Head. 240x240 px.
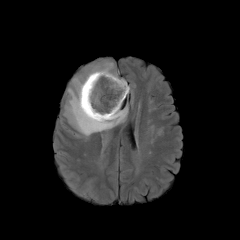
FLAIR MRI.
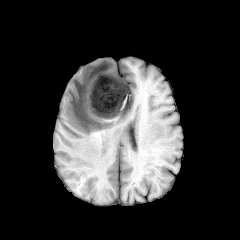
T1-weighted magnetic resonance.
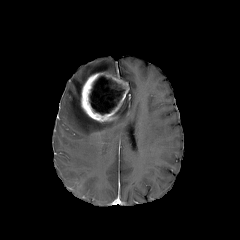
Same slice, post-contrast T1-weighted MR.
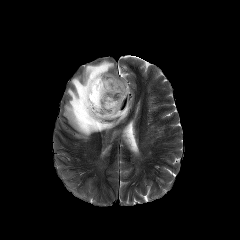
T2-weighted magnetic resonance of the same slice.
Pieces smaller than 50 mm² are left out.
enhancing tumor: bbox=[81, 71, 129, 122]
necrotic tumor core: bbox=[89, 76, 121, 114]
peritumoral edema: bbox=[64, 59, 128, 138]